240x240 px
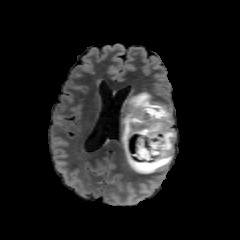
FLAIR magnetic resonance.
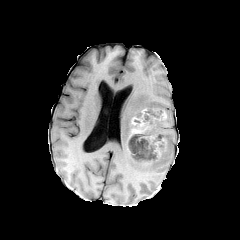
T1-weighted magnetic resonance of the same slice.
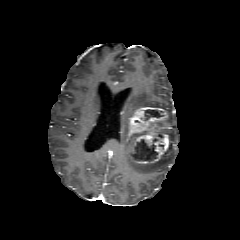
Same slice, post-contrast T1-weighted magnetic resonance.
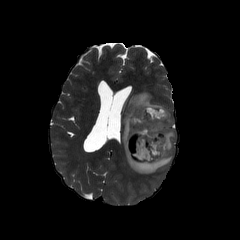
T2-weighted MR.
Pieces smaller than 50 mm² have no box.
peritumoral edema: {"x1": 122, "y1": 92, "x2": 175, "y2": 173} | enhancing tumor: {"x1": 128, "y1": 106, "x2": 170, "y2": 167} | necrotic tumor core: {"x1": 144, "y1": 109, "x2": 163, "y2": 120}, {"x1": 153, "y1": 130, "x2": 164, "y2": 142}, {"x1": 135, "y1": 139, "x2": 158, "y2": 161}